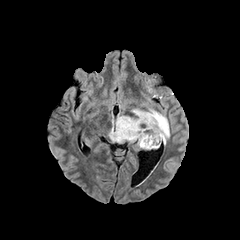
FLAIR MR image.
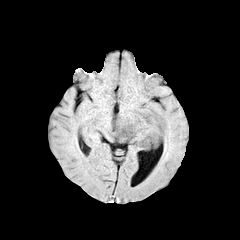
Same slice, T1-weighted MR image.
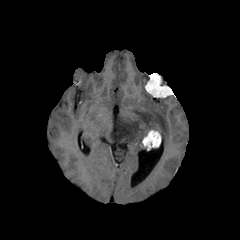
Post-contrast T1-weighted MRI.
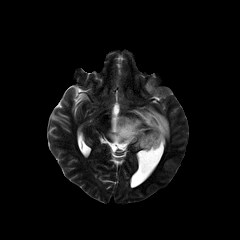
T2-weighted magnetic resonance of the same slice.
Head; 240x240; Axial slice
The peritumoral edema is located at 108:107:169:148. The enhancing tumor is located at 141:130:161:150.